Axial slice; Slice 50/155; Brain
FLAIR magnetic resonance.
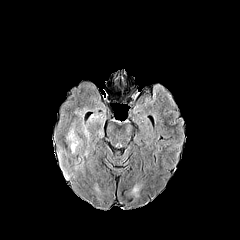
T1-weighted MRI.
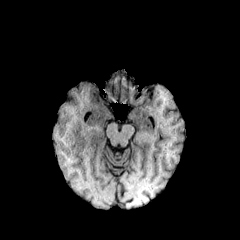
Post-contrast T1-weighted MRI.
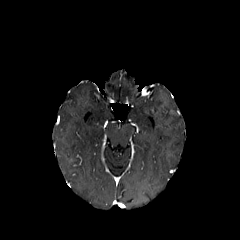
T2-weighted MR.
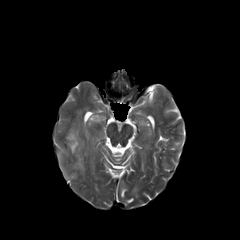
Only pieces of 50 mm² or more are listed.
peritumoral_edema:
  - l=58, t=149, r=70, b=180
  - l=67, t=129, r=78, b=152